FLAIR MR image.
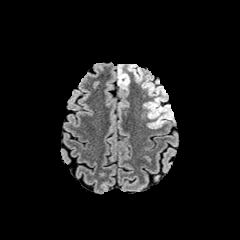
T1-weighted MR image.
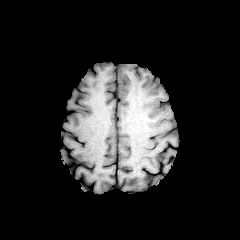
Post-contrast T1-weighted magnetic resonance.
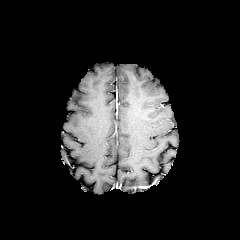
T2-weighted MRI.
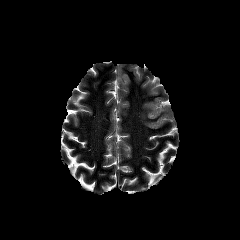
Image size 240x240.
{"peritumoral_edema": ["(x1=142, y1=77, x2=173, y2=128)", "(x1=128, y1=64, x2=143, y2=82)", "(x1=117, y1=64, x2=129, y2=90)"]}